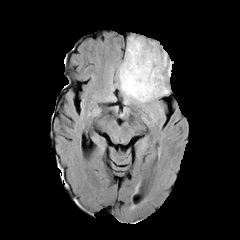
FLAIR MRI.
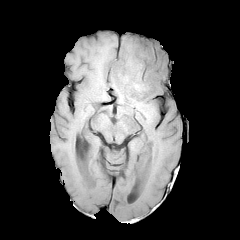
T1-weighted MR.
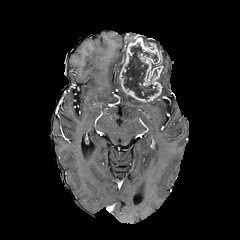
Post-contrast T1-weighted MR.
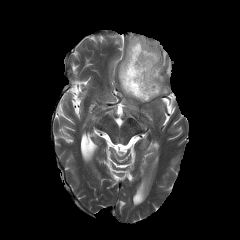
T2-weighted magnetic resonance.
Image size 240x240
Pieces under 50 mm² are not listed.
necrotic_tumor_core:
  - rect(122, 44, 158, 99)
peritumoral_edema:
  - rect(119, 79, 142, 103)
  - rect(158, 73, 168, 94)
  - rect(162, 51, 166, 70)
enhancing_tumor:
  - rect(119, 35, 163, 102)